Image width 240 mm, 1.00 mm slice spacing. Head.
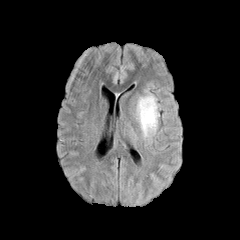
FLAIR MR.
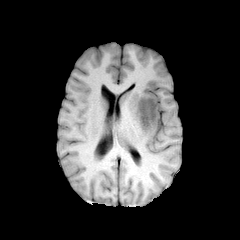
T1-weighted MR image.
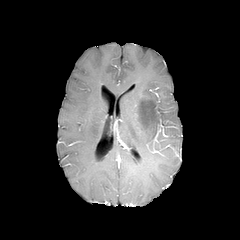
Post-contrast T1-weighted MR image.
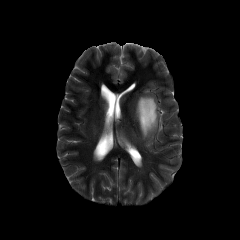
T2-weighted MRI of the same slice.
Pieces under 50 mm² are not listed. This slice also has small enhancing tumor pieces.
<segmentation>
  <necrotic_tumor_core>(143, 104, 152, 121)</necrotic_tumor_core>
  <peritumoral_edema>(135, 90, 159, 139)</peritumoral_edema>
</segmentation>